FLAIR magnetic resonance.
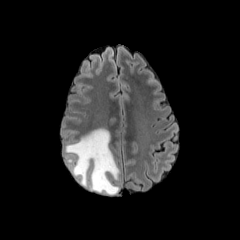
T1-weighted MRI.
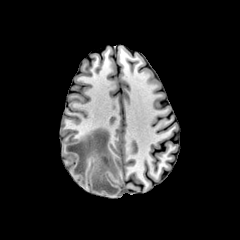
Post-contrast T1-weighted MR image.
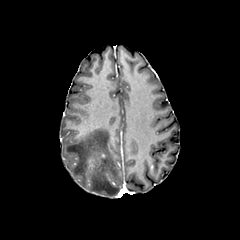
T2-weighted MRI.
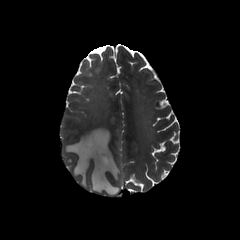
Image size 240x240
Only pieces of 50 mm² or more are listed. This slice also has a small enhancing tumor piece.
The peritumoral edema appears at 65 128 120 195.